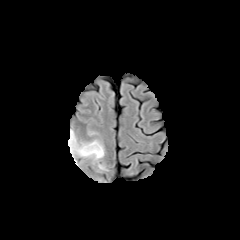
FLAIR MRI.
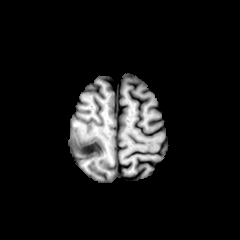
T1-weighted MR.
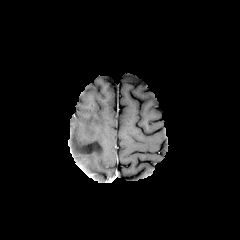
Post-contrast T1-weighted MR of the same slice.
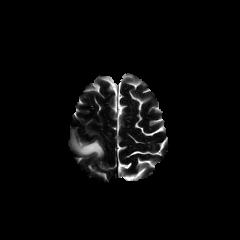
T2-weighted MR of the same slice.
Head. 240x240. Axial slice.
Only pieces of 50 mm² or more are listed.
peritumoral edema = [x1=69, y1=130, x2=104, y2=160]